Slice 126 of 155. Head.
FLAIR MR image.
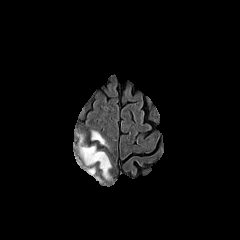
T1-weighted MR.
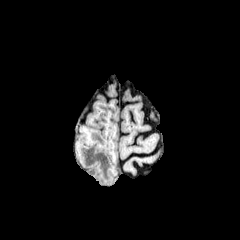
Post-contrast T1-weighted MRI.
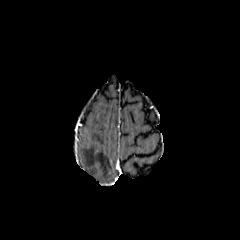
T2-weighted magnetic resonance.
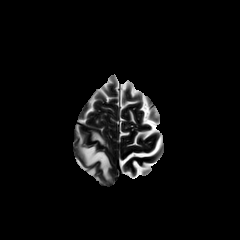
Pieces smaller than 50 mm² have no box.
peritumoral edema: [79, 135, 111, 179], [91, 131, 107, 145], [87, 168, 95, 175]